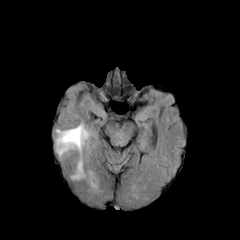
FLAIR MR.
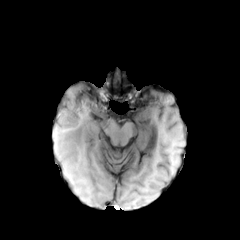
T1-weighted MR image.
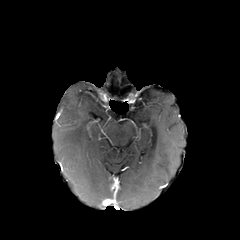
Post-contrast T1-weighted MR image.
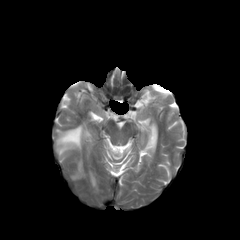
Same slice, T2-weighted MR.
Head; Axial plane
{"peritumoral_edema": ["<box>74,161,82,178</box>", "<box>57,124,88,155</box>"]}